Image width 240 mm, Head, 240x240, Axial plane
FLAIR magnetic resonance.
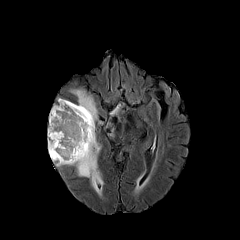
T1-weighted MR image.
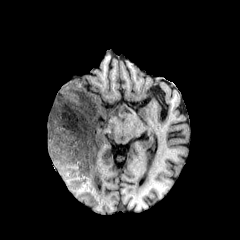
Post-contrast T1-weighted MRI.
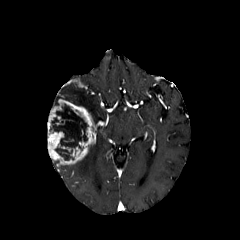
T2-weighted MR image.
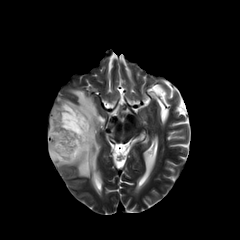
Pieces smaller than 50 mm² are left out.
necrotic tumor core: (50, 104, 87, 160) | enhancing tumor: (47, 99, 95, 165) | peritumoral edema: (71, 90, 98, 121), (72, 142, 103, 194)